FLAIR magnetic resonance.
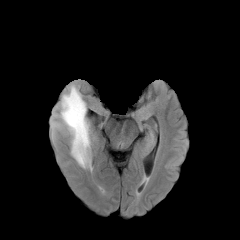
T1-weighted MR image.
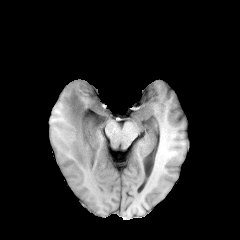
Post-contrast T1-weighted MR.
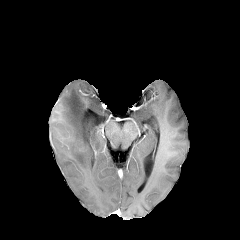
T2-weighted MR.
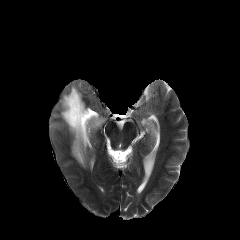
Brain | Axial slice
The peritumoral edema is bounded by bbox(60, 84, 92, 170).